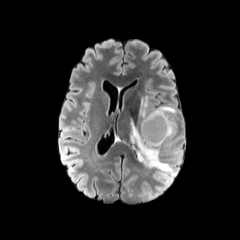
FLAIR MR.
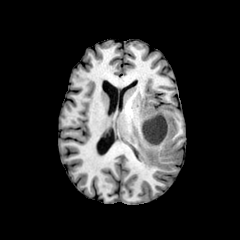
T1-weighted MR image of the same slice.
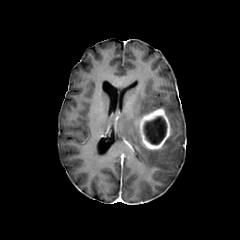
Same slice, post-contrast T1-weighted MRI.
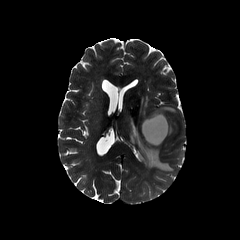
T2-weighted MRI of the same slice.
Head | Axial plane
necrotic tumor core: (143, 116, 166, 144)
enhancing tumor: (139, 108, 172, 150)
peritumoral edema: (158, 105, 176, 146), (139, 96, 157, 121), (130, 118, 172, 171)